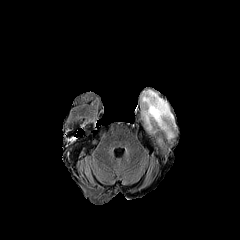
FLAIR MR.
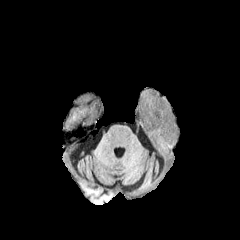
T1-weighted MR image.
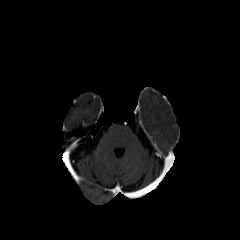
Post-contrast T1-weighted MR of the same slice.
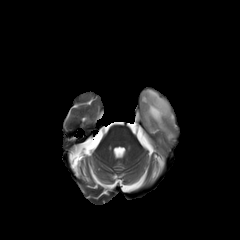
Same slice, T2-weighted MR.
Axial plane
peritumoral edema — <bbox>142, 90, 175, 139</bbox>